Slice 108/155
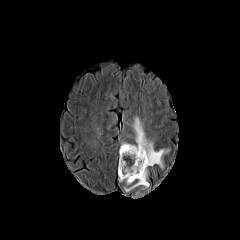
FLAIR magnetic resonance.
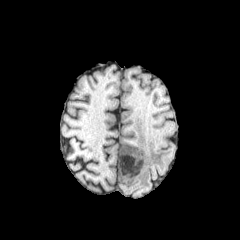
Same slice, T1-weighted magnetic resonance.
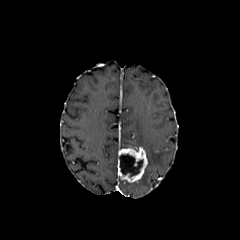
Post-contrast T1-weighted magnetic resonance of the same slice.
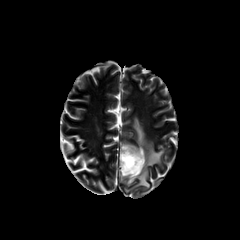
T2-weighted MR image.
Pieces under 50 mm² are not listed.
necrotic_tumor_core:
  - (120, 154, 142, 176)
peritumoral_edema:
  - (120, 116, 167, 192)
enhancing_tumor:
  - (118, 146, 147, 182)